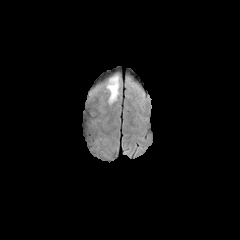
FLAIR MRI.
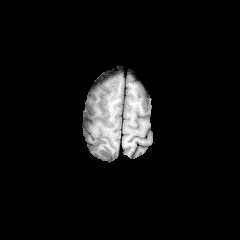
Same slice, T1-weighted MR.
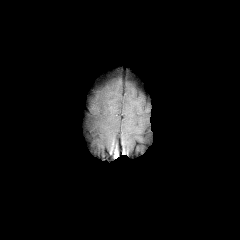
Post-contrast T1-weighted magnetic resonance of the same slice.
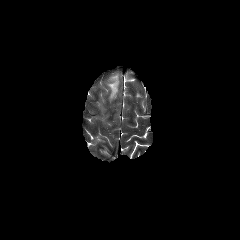
Same slice, T2-weighted MR.
Brain, Image size 240x240
The peritumoral edema appears at 107,75,118,104.